Axial view, Slice 107/155
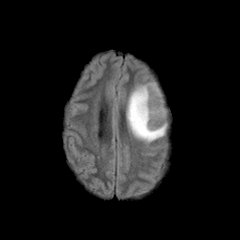
FLAIR MR.
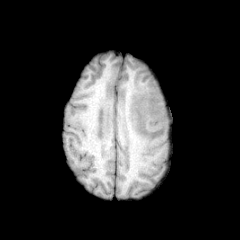
T1-weighted MR image.
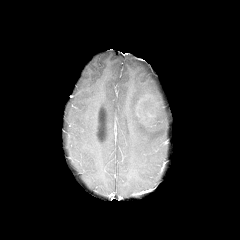
Post-contrast T1-weighted magnetic resonance.
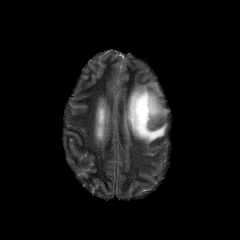
T2-weighted MR of the same slice.
enhancing tumor = [137, 97, 151, 119]
peritumoral edema = [126, 82, 166, 143]